FLAIR MR.
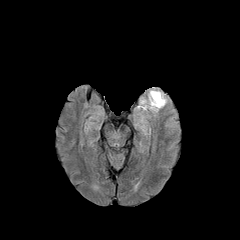
T1-weighted MR.
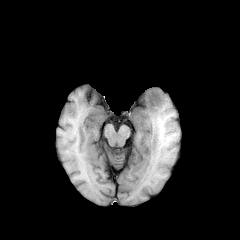
Post-contrast T1-weighted MR.
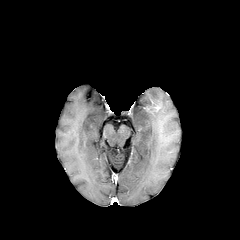
T2-weighted MRI.
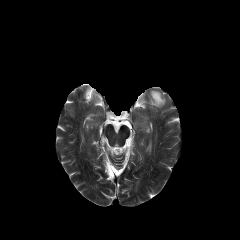
{"enhancing_tumor": ["150,98,161,109"], "peritumoral_edema": ["138,89,166,111"]}